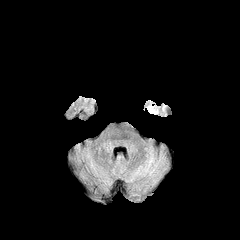
FLAIR magnetic resonance.
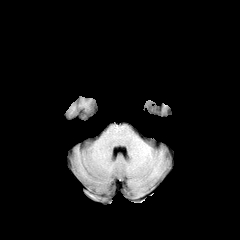
T1-weighted MR image of the same slice.
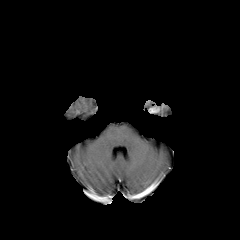
Post-contrast T1-weighted MRI.
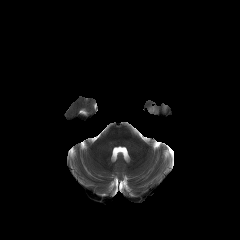
T2-weighted MR image of the same slice.
Axial view, Head
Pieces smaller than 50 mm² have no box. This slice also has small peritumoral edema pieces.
The enhancing tumor is located at <bbox>148, 105, 163, 113</bbox>.